Axial plane | Brain | 240x240 | Slice 80/155
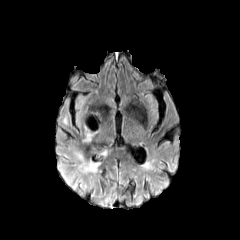
FLAIR MRI.
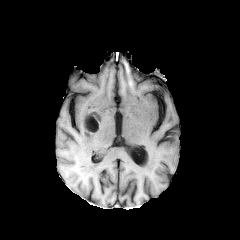
T1-weighted MR of the same slice.
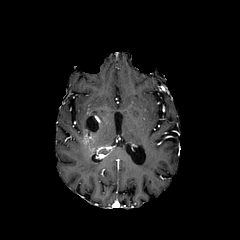
Post-contrast T1-weighted magnetic resonance.
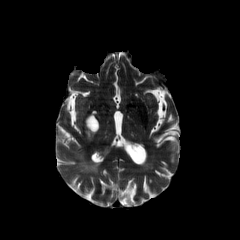
T2-weighted magnetic resonance.
enhancing_tumor:
  - [81, 113, 104, 155]
peritumoral_edema:
  - [77, 153, 99, 173]
necrotic_tumor_core:
  - [86, 116, 99, 132]